FLAIR MRI.
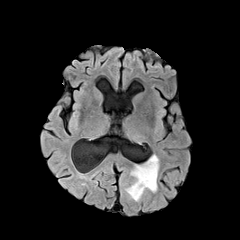
T1-weighted MR image.
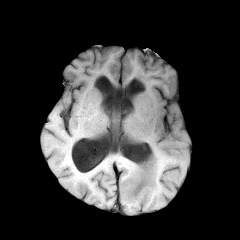
Post-contrast T1-weighted MRI.
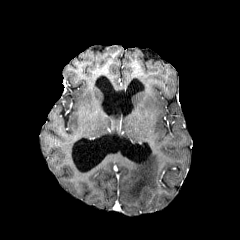
T2-weighted MR image.
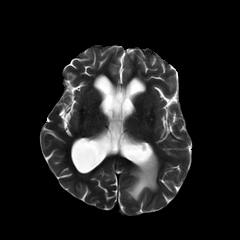
Axial slice. 240x240 px.
Findings:
- peritumoral edema: (125,154,159,201)